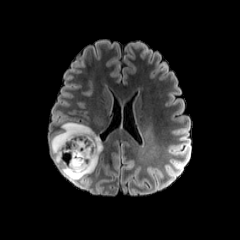
FLAIR MRI.
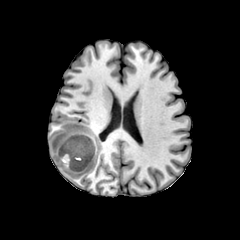
T1-weighted MR of the same slice.
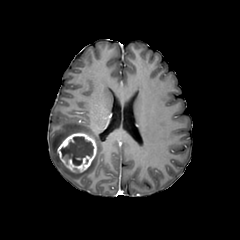
Post-contrast T1-weighted magnetic resonance.
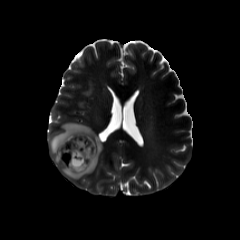
T2-weighted magnetic resonance.
Brain
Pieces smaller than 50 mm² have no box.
The peritumoral edema appears at left=50, top=122, right=102, bottom=180. The largest necrotic tumor core region appears at left=60, top=136, right=93, bottom=165. The largest enhancing tumor region is at left=57, top=132, right=96, bottom=172.